FLAIR MRI.
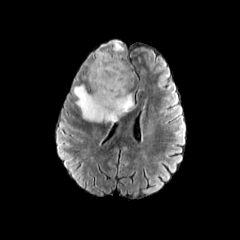
T1-weighted MRI.
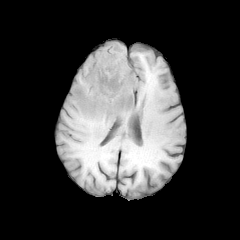
Post-contrast T1-weighted MRI.
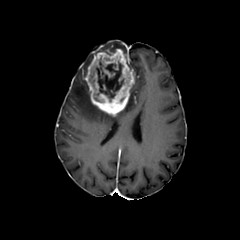
T2-weighted MR.
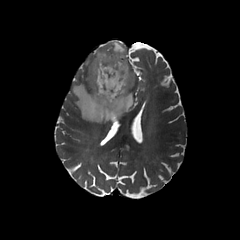
Image size 240x240
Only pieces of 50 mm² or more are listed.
enhancing_tumor:
  - [84, 45, 134, 116]
necrotic_tumor_core:
  - [94, 56, 123, 101]
peritumoral_edema:
  - [72, 84, 134, 127]
  - [101, 40, 125, 53]